FLAIR magnetic resonance.
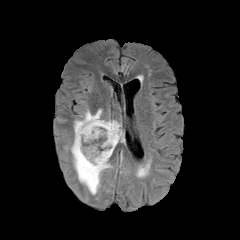
T1-weighted MRI.
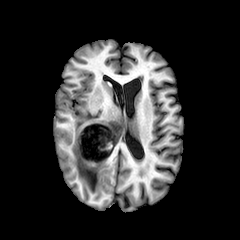
Post-contrast T1-weighted MRI.
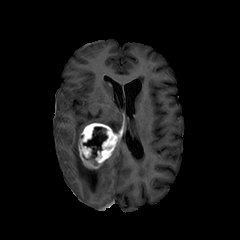
T2-weighted MR image.
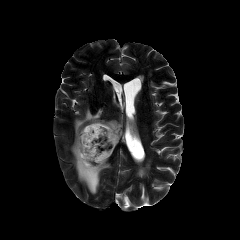
Brain; Axial plane
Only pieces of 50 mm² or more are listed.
enhancing tumor = l=78, t=123, r=121, b=169
necrotic tumor core = l=83, t=127, r=107, b=158
peritumoral edema = l=71, t=109, r=121, b=194